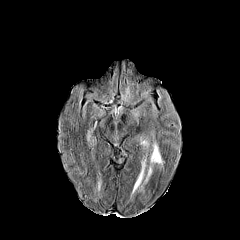
FLAIR magnetic resonance.
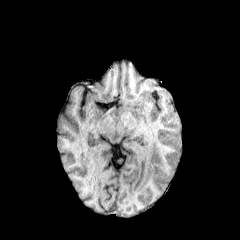
T1-weighted MR image of the same slice.
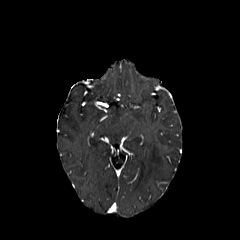
Post-contrast T1-weighted MR image.
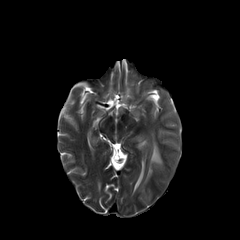
Same slice, T2-weighted MR image.
Brain.
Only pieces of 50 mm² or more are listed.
The 3 largest peritumoral edema regions appear at left=144, top=166, right=152, bottom=182; left=150, top=142, right=162, bottom=164; left=133, top=158, right=145, bottom=192.